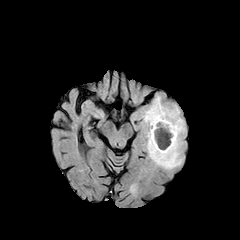
FLAIR MR.
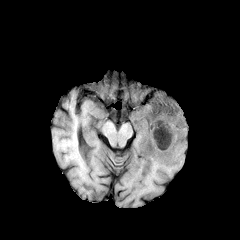
T1-weighted magnetic resonance.
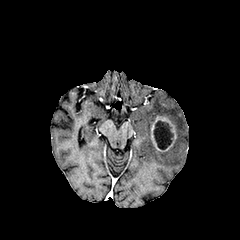
Post-contrast T1-weighted magnetic resonance.
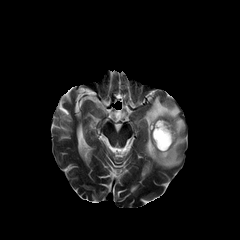
Same slice, T2-weighted MR image.
Brain
peritumoral edema — (141, 95, 185, 169)
necrotic tumor core — (153, 121, 173, 149)
enhancing tumor — (151, 116, 176, 151)